Brain | Slice 66/155 | 240x240 px | Axial view
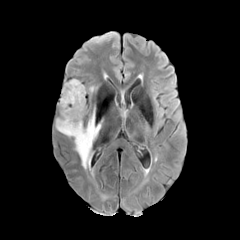
FLAIR MR image.
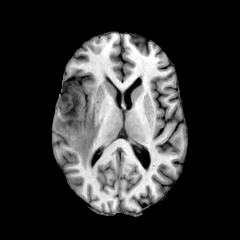
T1-weighted magnetic resonance of the same slice.
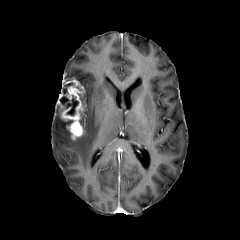
Post-contrast T1-weighted MR image.
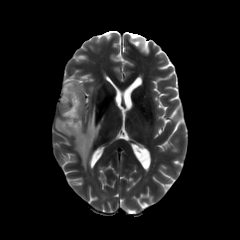
T2-weighted MR image of the same slice.
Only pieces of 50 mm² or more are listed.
enhancing tumor: (57,79,84,139) | peritumoral edema: (74,108,101,169), (81,89,86,110), (55,118,71,136) | necrotic tumor core: (63,83,73,94), (60,95,78,115)